Slice index 29. Head. 240x240 px. Axial slice. Image width 240 mm.
FLAIR MR.
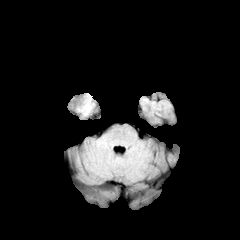
T1-weighted MR image.
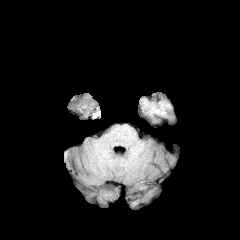
Post-contrast T1-weighted MR.
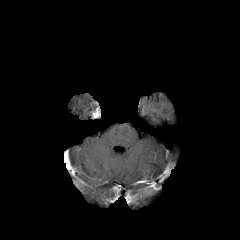
T2-weighted MR.
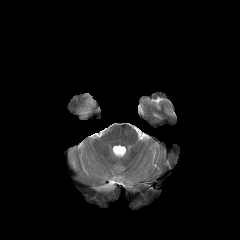
peritumoral edema: bounding box [81, 94, 93, 115]